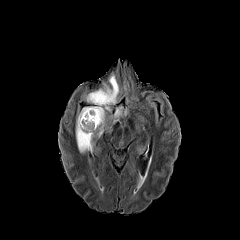
FLAIR MR.
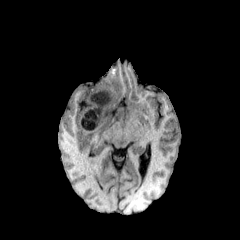
Same slice, T1-weighted MRI.
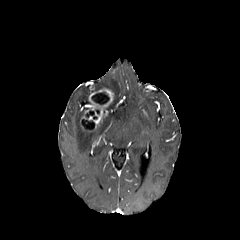
Post-contrast T1-weighted magnetic resonance.
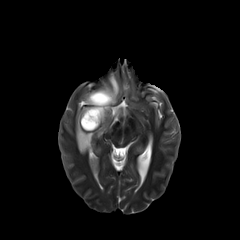
T2-weighted MRI of the same slice.
Head
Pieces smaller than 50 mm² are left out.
The 3 largest necrotic tumor core regions are bounded by (85, 110, 97, 119), (81, 119, 94, 130), (91, 92, 109, 104). The largest enhancing tumor region is at (81, 88, 114, 129). The 4 largest peritumoral edema regions appear at (76, 108, 93, 153), (97, 118, 105, 136), (113, 105, 123, 122), (103, 74, 119, 110).